FLAIR MR image.
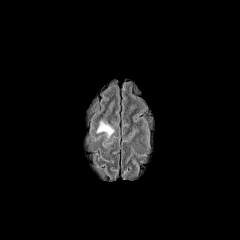
T1-weighted magnetic resonance.
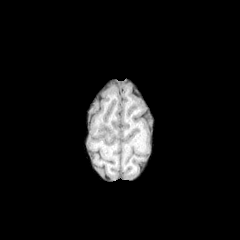
Post-contrast T1-weighted magnetic resonance.
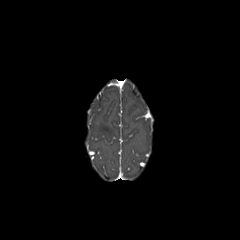
T2-weighted MRI.
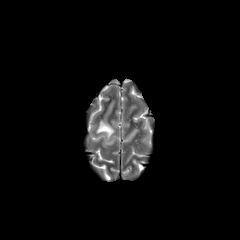
Head, Axial slice
peritumoral edema at 96:121:114:138